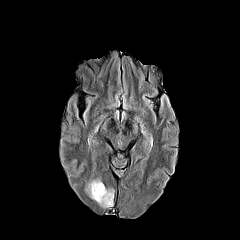
FLAIR magnetic resonance.
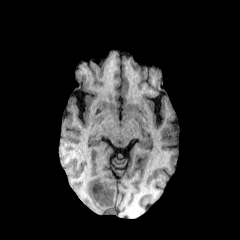
T1-weighted MR.
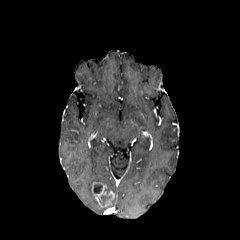
Post-contrast T1-weighted MR image.
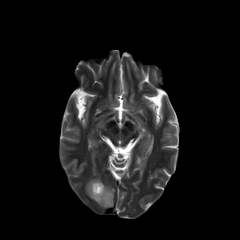
T2-weighted MR image.
Axial plane | Brain
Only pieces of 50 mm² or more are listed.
peritumoral edema = {"x1": 86, "y1": 179, "x2": 100, "y2": 199}
necrotic tumor core = {"x1": 93, "y1": 184, "x2": 102, "y2": 193}
enhancing tumor = {"x1": 92, "y1": 182, "x2": 114, "y2": 206}